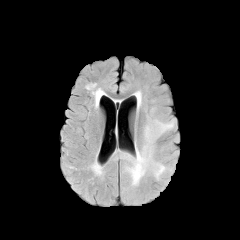
FLAIR MRI.
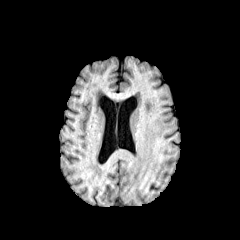
Same slice, T1-weighted MRI.
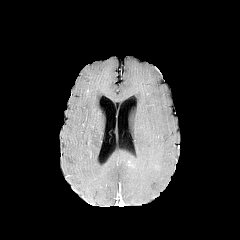
Post-contrast T1-weighted MR of the same slice.
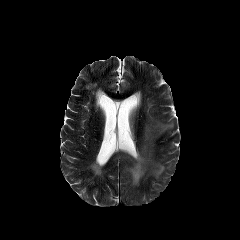
T2-weighted MR.
240x240 px
2 peritumoral edema regions are located at 124, 118, 174, 186; 137, 92, 141, 107.